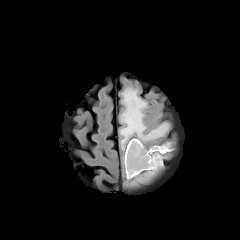
FLAIR MRI.
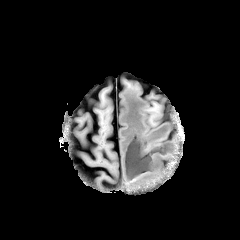
T1-weighted MR image.
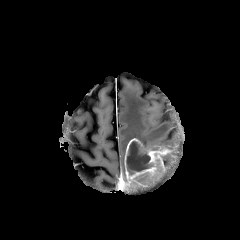
Post-contrast T1-weighted magnetic resonance.
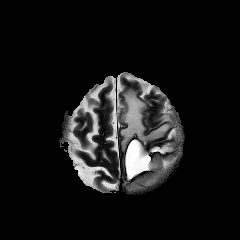
T2-weighted MR.
Axial view
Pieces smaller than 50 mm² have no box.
necrotic_tumor_core:
  - box(126, 141, 152, 174)
peritumoral_edema:
  - box(120, 89, 169, 150)
  - box(131, 173, 151, 184)
enhancing_tumor:
  - box(124, 138, 172, 182)